Image covers 240 mm x 240 mm | Image size 240x240 | Head | Axial slice
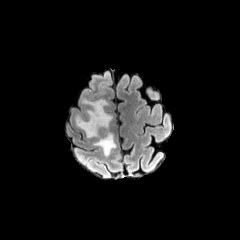
FLAIR MR.
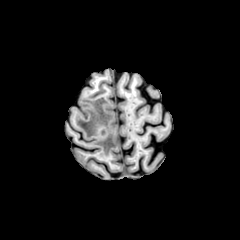
Same slice, T1-weighted MR.
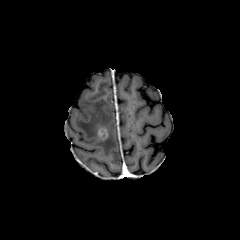
Post-contrast T1-weighted magnetic resonance.
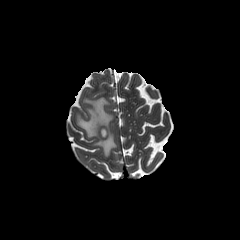
T2-weighted magnetic resonance.
{
  "peritumoral_edema": [
    "(75,98,116,156)"
  ],
  "enhancing_tumor": [
    "(98,129,107,140)"
  ]
}